240x240, Axial plane
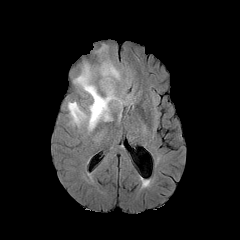
FLAIR MRI.
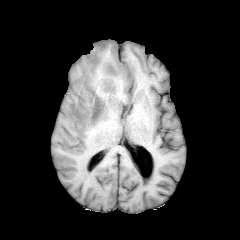
Same slice, T1-weighted MRI.
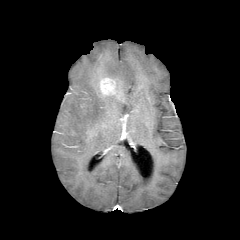
Post-contrast T1-weighted MRI.
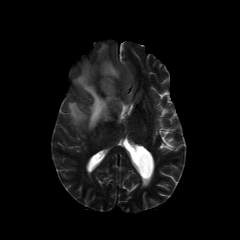
T2-weighted MR image of the same slice.
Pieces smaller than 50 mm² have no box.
enhancing tumor at x1=100, y1=77, x2=115, y2=95
peritumoral edema at x1=68, y1=64, x2=122, y2=130; x1=101, y1=61, x2=119, y2=79